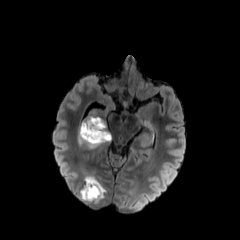
FLAIR MR.
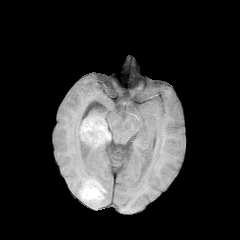
T1-weighted MRI of the same slice.
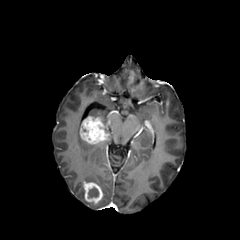
Post-contrast T1-weighted magnetic resonance.
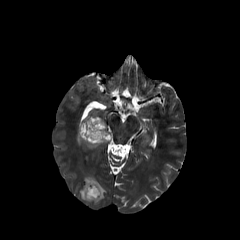
T2-weighted MR of the same slice.
Head, Image size 240x240, Axial slice
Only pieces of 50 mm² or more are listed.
The 4 largest peritumoral edema regions appear at rect(101, 119, 110, 141); rect(78, 127, 104, 148); rect(79, 186, 97, 205); rect(84, 172, 106, 199). 2 enhancing tumor regions are bounded by rect(83, 182, 103, 203); rect(80, 116, 108, 143). The largest necrotic tumor core region is bounded by rect(88, 187, 98, 198).